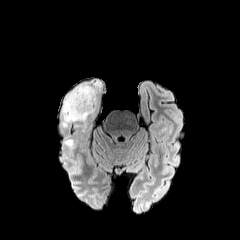
FLAIR MR.
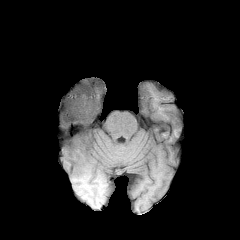
T1-weighted MRI of the same slice.
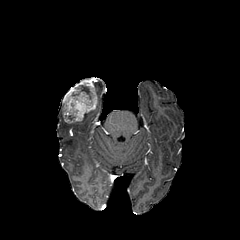
Same slice, post-contrast T1-weighted MR image.
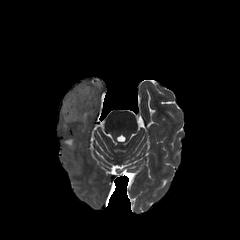
T2-weighted MRI.
Axial plane; 240x240 px
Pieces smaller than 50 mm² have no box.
enhancing_tumor:
  - box=[63, 78, 97, 123]
necrotic_tumor_core:
  - box=[75, 83, 89, 93]
peritumoral_edema:
  - box=[94, 80, 102, 99]